FLAIR MR image.
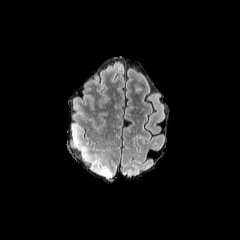
T1-weighted MR.
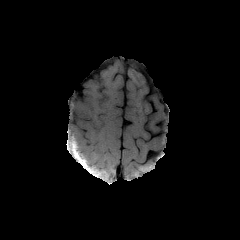
Post-contrast T1-weighted MR.
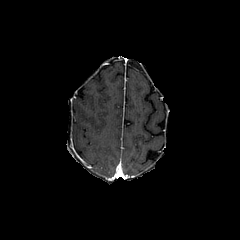
T2-weighted MR image.
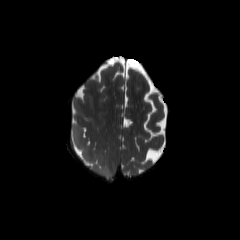
240x240. Head. Axial plane.
Segmented structures:
• peritumoral edema: {"x1": 81, "y1": 146, "x2": 91, "y2": 162}, {"x1": 72, "y1": 124, "x2": 82, "y2": 146}, {"x1": 95, "y1": 166, "x2": 111, "y2": 177}